Axial view
FLAIR magnetic resonance.
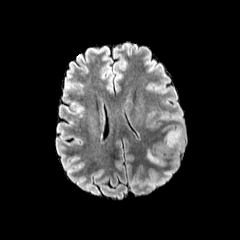
T1-weighted magnetic resonance.
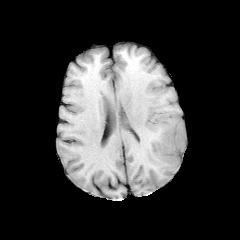
Post-contrast T1-weighted MR image.
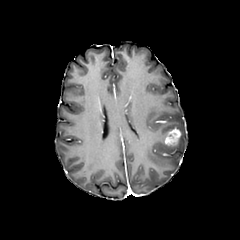
T2-weighted MRI.
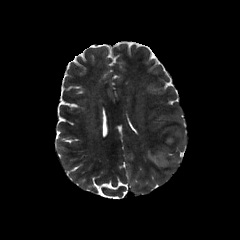
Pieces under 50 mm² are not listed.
Annotated regions:
- enhancing tumor: <box>164,128,181,146</box>
- peritumoral edema: <box>166,127,184,151</box>, <box>147,150,166,166</box>